Image width 240 mm, Axial slice, Brain
FLAIR MR.
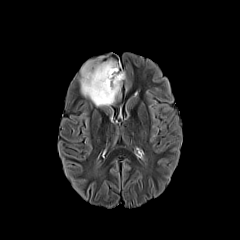
T1-weighted MRI.
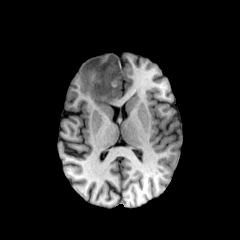
Post-contrast T1-weighted MR image.
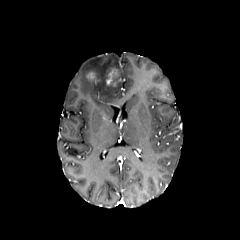
T2-weighted magnetic resonance.
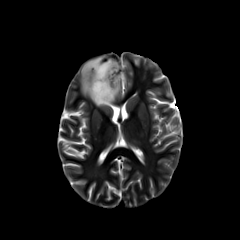
2 enhancing tumor regions are bounded by bbox(106, 68, 118, 85); bbox(86, 72, 95, 79). The peritumoral edema is located at bbox(79, 56, 125, 106).